FLAIR magnetic resonance.
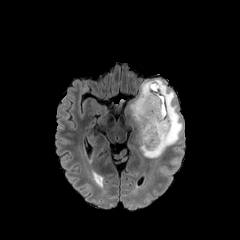
T1-weighted magnetic resonance.
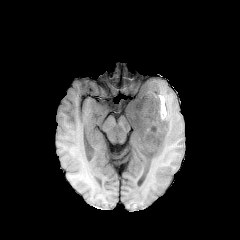
Post-contrast T1-weighted MR.
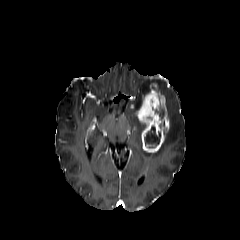
T2-weighted magnetic resonance.
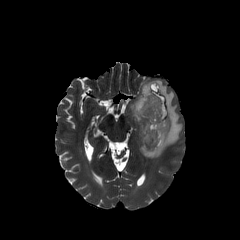
Head
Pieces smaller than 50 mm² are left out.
The enhancing tumor appears at bbox(130, 83, 169, 153). The 2 largest necrotic tumor core regions are bounded by bbox(144, 126, 159, 145); bbox(156, 106, 165, 119). The largest peritumoral edema region is at bbox(131, 79, 182, 157).